FLAIR MR.
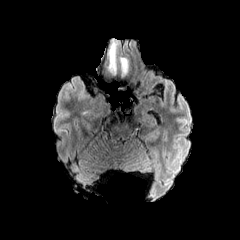
T1-weighted MRI.
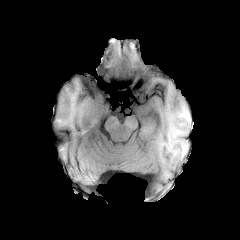
Post-contrast T1-weighted magnetic resonance.
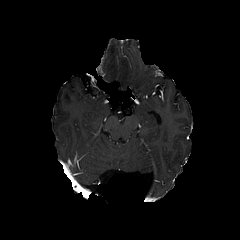
T2-weighted magnetic resonance.
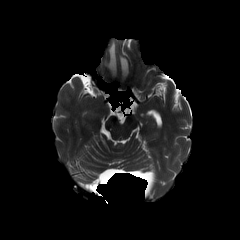
Image size 240x240, Head
Findings:
- peritumoral edema: x1=108 y1=40 x2=116 y2=72, x1=119 y1=57 x2=128 y2=74